Head. Slice 88 of 155.
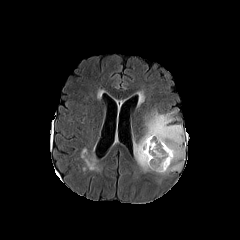
FLAIR MRI.
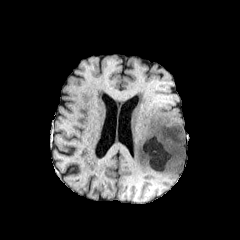
Same slice, T1-weighted MRI.
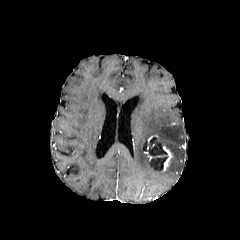
Post-contrast T1-weighted MR.
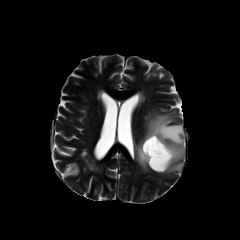
T2-weighted MR image.
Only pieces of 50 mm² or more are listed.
peritumoral edema: box(134, 110, 187, 175) | enhancing tumor: box(162, 145, 173, 171) | necrotic tumor core: box(148, 137, 168, 171)